FLAIR MR image.
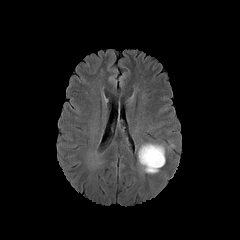
T1-weighted MRI.
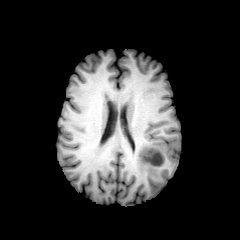
Post-contrast T1-weighted MRI.
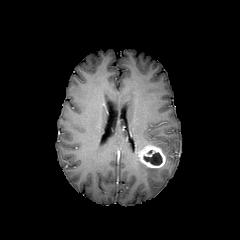
T2-weighted magnetic resonance.
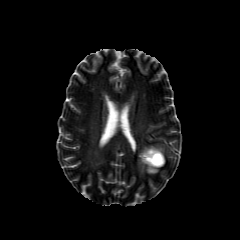
Head
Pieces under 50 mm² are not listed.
Annotated regions:
• necrotic tumor core: x1=143, y1=153, x2=162, y2=165
• peritumoral edema: x1=139, y1=160, x2=159, y2=173; x1=139, y1=144, x2=164, y2=154
• enhancing tumor: x1=138, y1=145, x2=165, y2=167